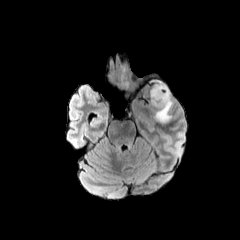
FLAIR MRI.
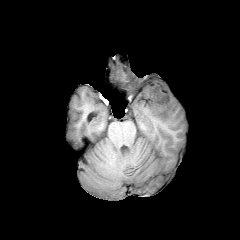
T1-weighted MRI.
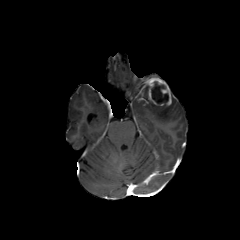
Post-contrast T1-weighted magnetic resonance.
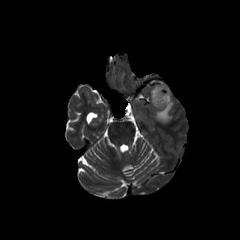
T2-weighted MR.
Axial plane, Head
peritumoral_edema:
  - 152,96,173,122
enhancing_tumor:
  - 143,77,171,106
necrotic_tumor_core:
  - 151,82,168,104